FLAIR MR.
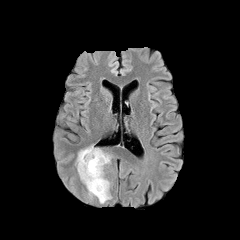
T1-weighted MRI.
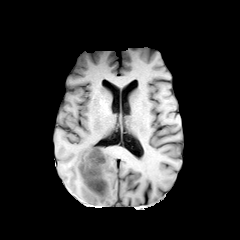
Post-contrast T1-weighted magnetic resonance.
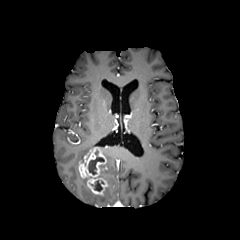
T2-weighted MR image.
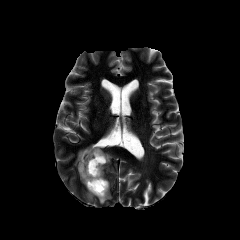
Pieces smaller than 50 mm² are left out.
The 3 largest peritumoral edema regions are bounded by (x1=87, y1=165, x2=111, y2=203), (x1=103, y1=151, x2=111, y2=164), (x1=75, y1=145, x2=94, y2=169). The enhancing tumor is located at (x1=78, y1=147, x2=108, y2=195). The 2 largest necrotic tumor core regions appear at (x1=91, y1=180, x2=102, y2=191), (x1=88, y1=156, x2=104, y2=174).